FLAIR magnetic resonance.
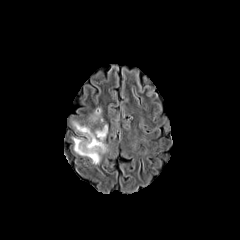
T1-weighted MR.
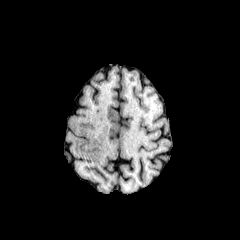
Post-contrast T1-weighted MR.
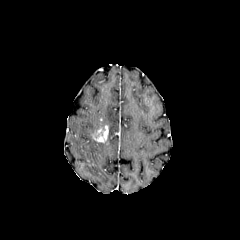
T2-weighted MR image.
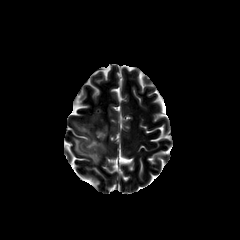
Brain
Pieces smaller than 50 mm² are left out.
peritumoral edema: bbox(92, 108, 101, 121); bbox(72, 121, 107, 164) | enhancing tumor: bbox(92, 125, 108, 142)